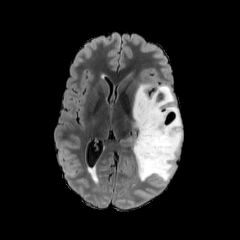
FLAIR magnetic resonance.
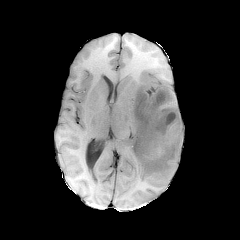
Same slice, T1-weighted magnetic resonance.
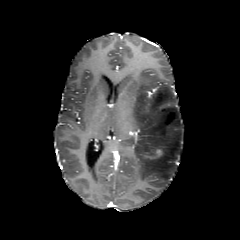
Post-contrast T1-weighted MR image.
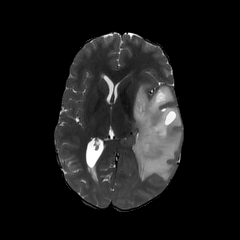
T2-weighted magnetic resonance.
Head, 240x240 px
{
  "enhancing_tumor": [
    "region(142, 149, 163, 159)"
  ],
  "peritumoral_edema": [
    "region(133, 84, 182, 181)"
  ]
}